Image size 240x240. Head. Slice index 63. Image covers 240 mm x 240 mm.
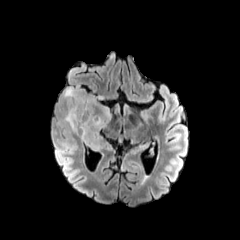
FLAIR MR.
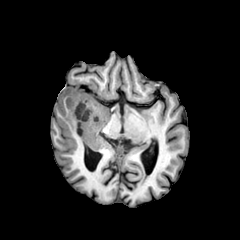
T1-weighted MR image of the same slice.
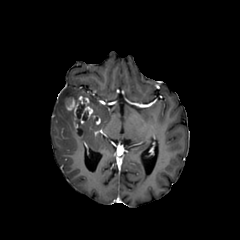
Post-contrast T1-weighted MRI of the same slice.
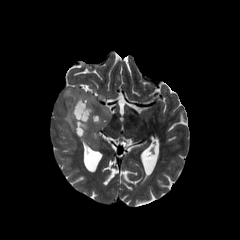
T2-weighted MR.
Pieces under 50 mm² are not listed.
enhancing_tumor:
  - (66, 96, 100, 136)
peritumoral_edema:
  - (63, 87, 110, 141)
  - (64, 111, 76, 133)
necrotic_tumor_core:
  - (77, 105, 84, 118)